FLAIR MR.
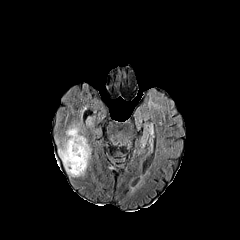
T1-weighted magnetic resonance.
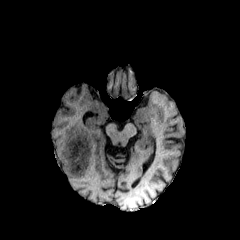
Post-contrast T1-weighted MR image.
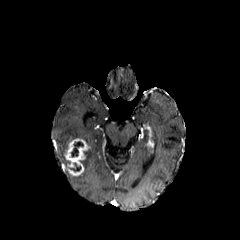
T2-weighted MR image.
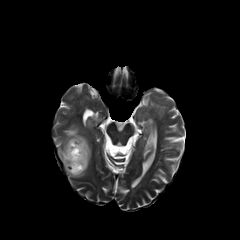
Head | Image size 240x240
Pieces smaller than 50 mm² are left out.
necrotic_tumor_core:
  - x1=70, y1=141, x2=84, y2=157
  - x1=69, y1=162, x2=81, y2=173
enhancing_tumor:
  - x1=63, y1=139, x2=89, y2=175
peritumoral_edema:
  - x1=58, y1=124, x2=88, y2=171
  - x1=78, y1=148, x2=91, y2=175